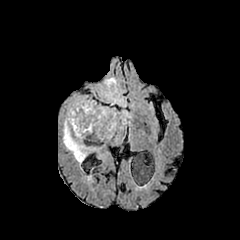
FLAIR MR image.
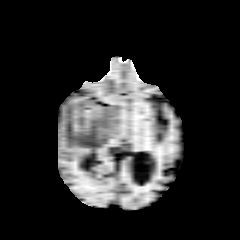
Same slice, T1-weighted MRI.
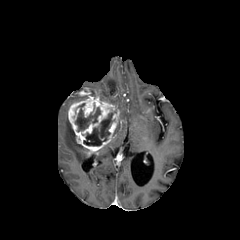
Same slice, post-contrast T1-weighted MR.
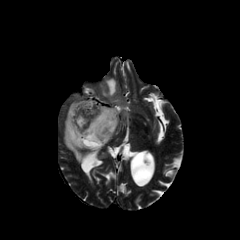
Same slice, T2-weighted MRI.
Brain
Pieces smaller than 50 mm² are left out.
peritumoral_edema:
  - bbox=[98, 77, 126, 107]
  - bbox=[117, 110, 130, 129]
  - bbox=[63, 113, 87, 162]
necrotic_tumor_core:
  - bbox=[84, 112, 113, 145]
  - bbox=[75, 103, 100, 131]
enhancing_tumor:
  - bbox=[68, 92, 126, 153]